Slice 111 of 155; Image size 240x240
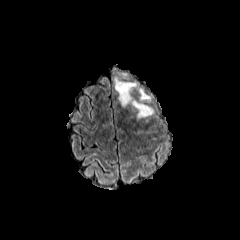
FLAIR MR image.
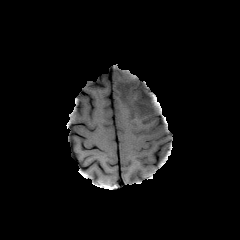
T1-weighted MRI.
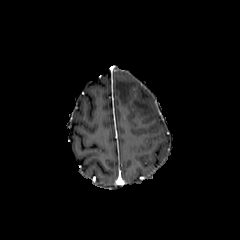
Same slice, post-contrast T1-weighted MR.
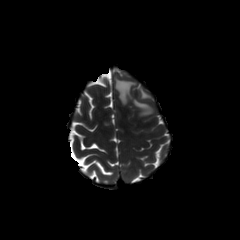
T2-weighted MRI of the same slice.
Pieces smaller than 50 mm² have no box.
peritumoral edema: rect(114, 77, 154, 118)